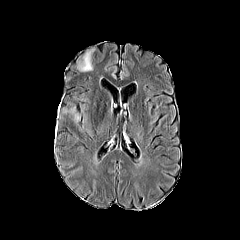
FLAIR MRI.
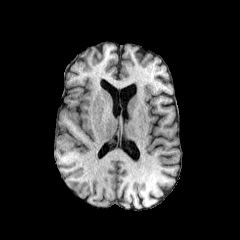
T1-weighted MR of the same slice.
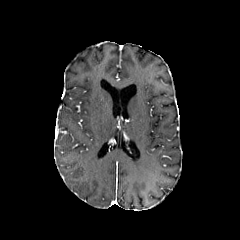
Post-contrast T1-weighted magnetic resonance.
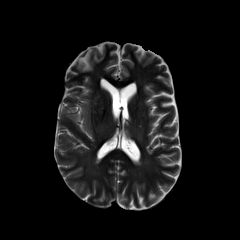
T2-weighted MR image.
peritumoral edema: bounding box left=62, top=106, right=81, bottom=121; left=76, top=48, right=95, bottom=72